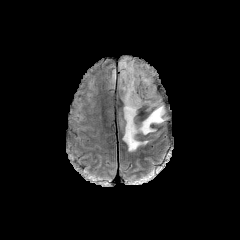
FLAIR MR image.
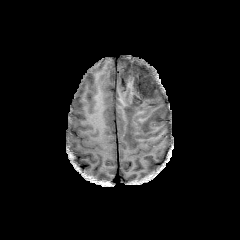
Same slice, T1-weighted MR image.
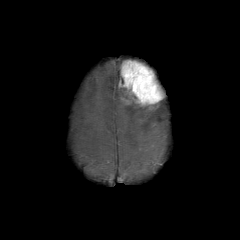
Post-contrast T1-weighted MR image of the same slice.
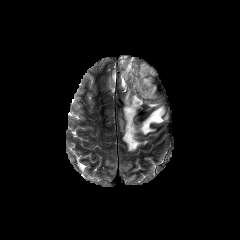
Same slice, T2-weighted MR.
Head
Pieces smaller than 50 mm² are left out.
peritumoral edema: (x1=123, y1=100, x2=165, y2=151)
enhancing tumor: (x1=119, y1=60, x2=163, y2=108)